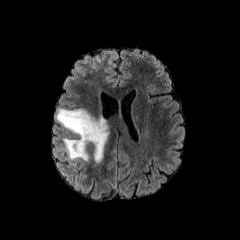
FLAIR MR.
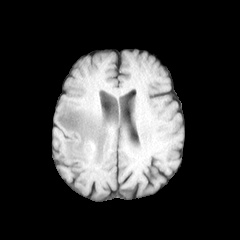
T1-weighted MR.
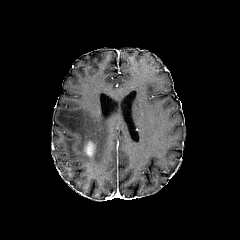
Post-contrast T1-weighted MR image.
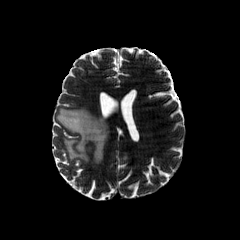
T2-weighted MR.
Head.
{
  "enhancing_tumor": [
    "84:141:94:155"
  ],
  "peritumoral_edema": [
    "56:108:108:163"
  ]
}